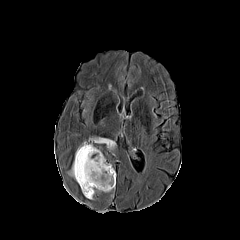
FLAIR MRI.
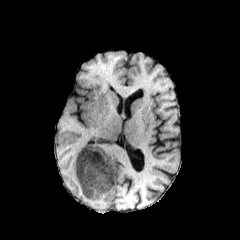
T1-weighted MR image of the same slice.
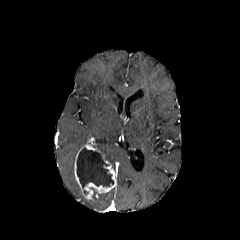
Post-contrast T1-weighted magnetic resonance of the same slice.
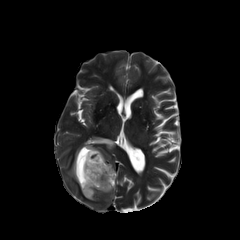
T2-weighted MR.
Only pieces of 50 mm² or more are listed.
Annotated regions:
• peritumoral edema: (x1=68, y1=163, x2=74, y2=178), (x1=94, y1=137, x2=114, y2=150)
• enhancing tumor: (x1=74, y1=143, x2=115, y2=199)
• necrotic tumor core: (x1=77, y1=148, x2=113, y2=187)